Head; Image size 240x240; Image width 240 mm, 1.00 mm slice spacing; Slice 57/155; Axial slice
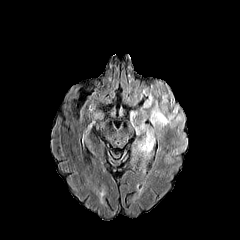
FLAIR MR.
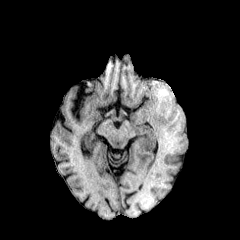
T1-weighted MRI.
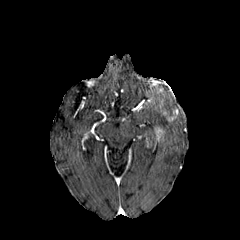
Post-contrast T1-weighted magnetic resonance.
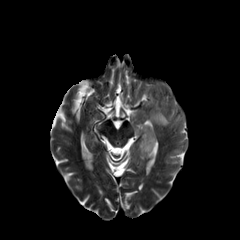
T2-weighted MR image of the same slice.
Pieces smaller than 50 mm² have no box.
The largest peritumoral edema region is at (left=131, top=82, right=184, bottom=157). 4 enhancing tumor regions are located at (left=155, top=127, right=163, bottom=140), (left=143, top=97, right=153, bottom=107), (left=146, top=133, right=152, bottom=146), (left=163, top=108, right=178, bottom=121).